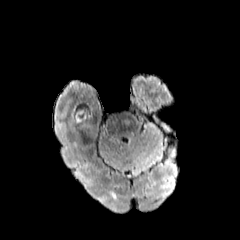
FLAIR MRI.
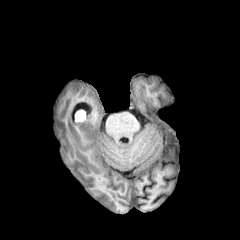
T1-weighted MRI.
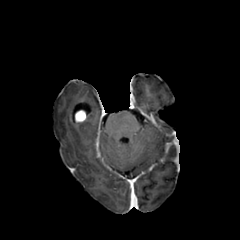
Post-contrast T1-weighted magnetic resonance.
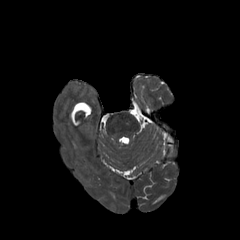
T2-weighted MR of the same slice.
Brain
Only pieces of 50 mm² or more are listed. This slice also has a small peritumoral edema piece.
The enhancing tumor is at (x1=74, y1=110, x2=85, y2=123).